FLAIR MR.
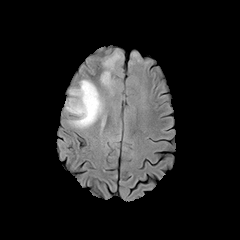
T1-weighted magnetic resonance.
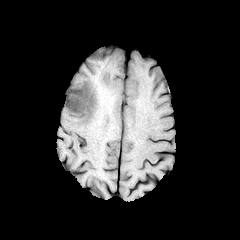
Post-contrast T1-weighted MR.
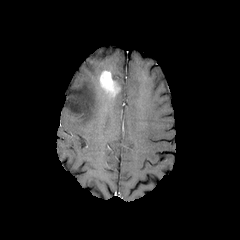
T2-weighted MRI.
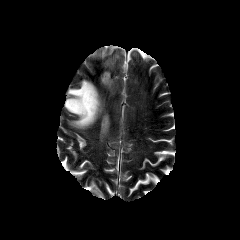
2 peritumoral edema regions are bounded by box(65, 79, 103, 129); box(103, 52, 121, 71). The enhancing tumor is located at box(100, 70, 119, 95).